FLAIR MR image.
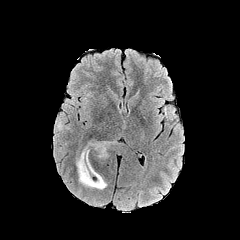
T1-weighted MR image.
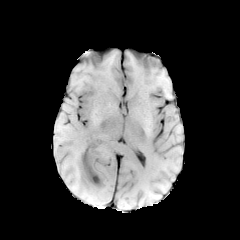
Post-contrast T1-weighted MRI.
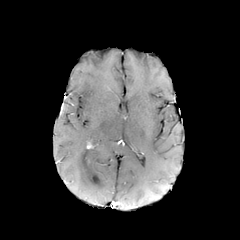
T2-weighted MRI.
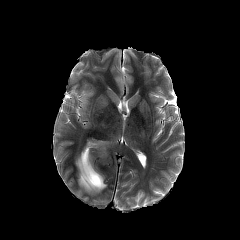
Axial plane
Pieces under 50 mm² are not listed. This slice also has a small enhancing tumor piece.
Findings:
• peritumoral edema: {"x1": 89, "y1": 141, "x2": 111, "y2": 157}, {"x1": 76, "y1": 146, "x2": 107, "y2": 190}